FLAIR MRI.
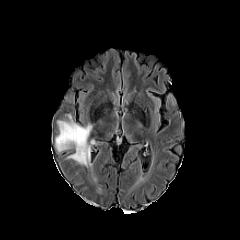
T1-weighted magnetic resonance.
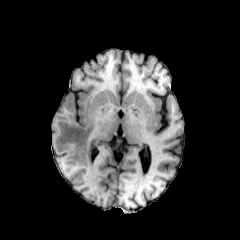
Post-contrast T1-weighted MR image.
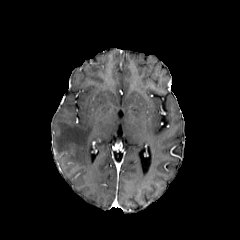
T2-weighted MR.
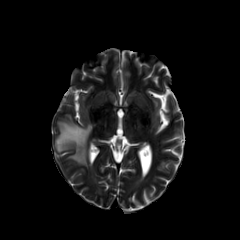
Axial slice.
The peritumoral edema is at x1=55, y1=114, x2=92, y2=166.